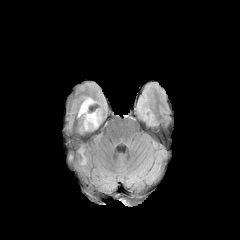
FLAIR MR image.
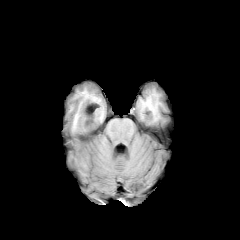
Same slice, T1-weighted MRI.
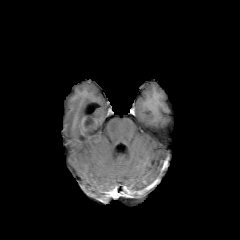
Post-contrast T1-weighted MR image of the same slice.
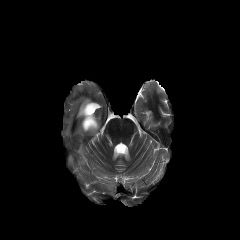
T2-weighted MRI of the same slice.
Axial plane, 240x240 px, Brain
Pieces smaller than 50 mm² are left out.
enhancing_tumor:
  - 79:115:100:135
necrotic_tumor_core:
  - 85:118:94:127
peritumoral_edema:
  - 79:148:86:164
  - 78:98:92:117